Image width 240 mm; Slice 83 of 155
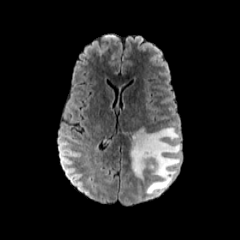
FLAIR MR image.
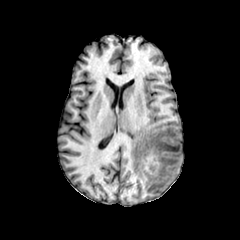
Same slice, T1-weighted MRI.
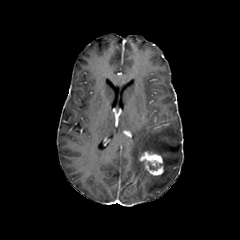
Post-contrast T1-weighted magnetic resonance.
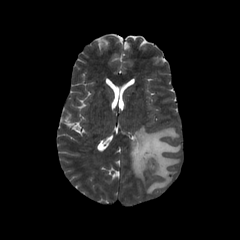
T2-weighted MRI of the same slice.
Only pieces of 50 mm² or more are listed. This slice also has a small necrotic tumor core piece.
peritumoral edema = <box>123,127,180,195</box>
enhancing tumor = <box>138,150,164,176</box>